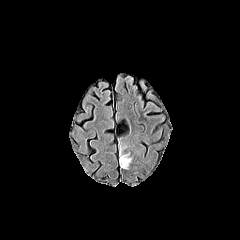
FLAIR MR image.
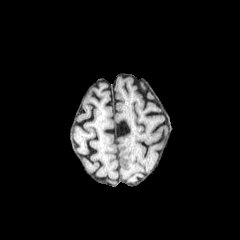
T1-weighted magnetic resonance.
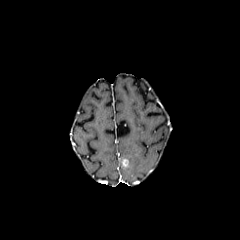
Same slice, post-contrast T1-weighted MRI.
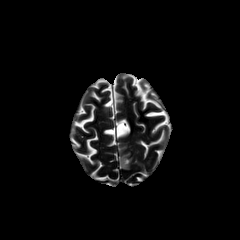
Same slice, T2-weighted MR.
240x240
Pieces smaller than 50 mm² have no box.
The largest peritumoral edema region lies within [x1=119, y1=146, x2=131, y2=163]. The enhancing tumor is located at [x1=120, y1=158, x2=128, y2=168].